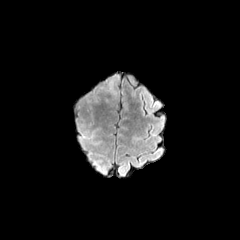
FLAIR magnetic resonance.
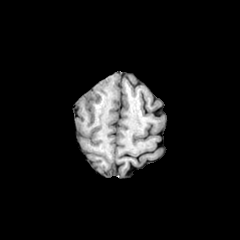
T1-weighted MR.
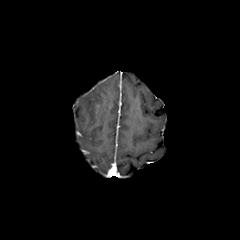
Same slice, post-contrast T1-weighted MR image.
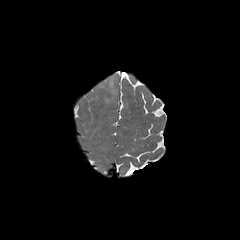
Same slice, T2-weighted magnetic resonance.
Axial plane
* peritumoral edema: <bbox>100, 76, 117, 95</bbox>